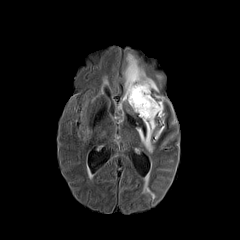
FLAIR magnetic resonance.
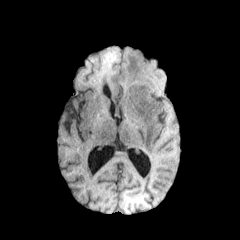
T1-weighted MRI.
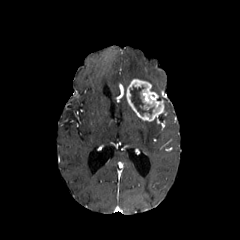
Post-contrast T1-weighted magnetic resonance of the same slice.
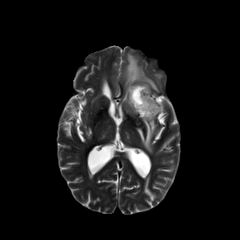
T2-weighted MRI.
Image size 240x240
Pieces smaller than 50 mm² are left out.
{"peritumoral_edema": ["(left=137, top=120, right=161, bottom=153)", "(left=118, top=52, right=158, bottom=110)"], "necrotic_tumor_core": ["(left=130, top=86, right=154, bottom=115)"], "enhancing_tumor": ["(left=126, top=79, right=164, bottom=121)"]}